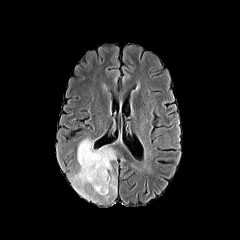
FLAIR magnetic resonance.
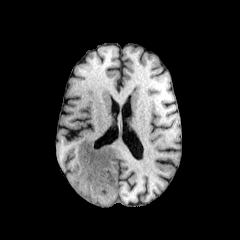
Same slice, T1-weighted MRI.
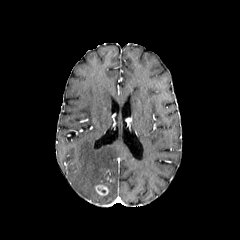
Same slice, post-contrast T1-weighted magnetic resonance.
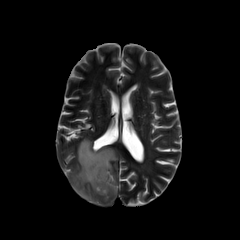
T2-weighted MR image.
Brain.
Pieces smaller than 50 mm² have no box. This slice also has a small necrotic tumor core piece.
The peritumoral edema lies within [70, 138, 117, 202]. The enhancing tumor is bounded by [95, 184, 108, 195].